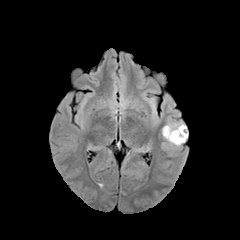
FLAIR MRI.
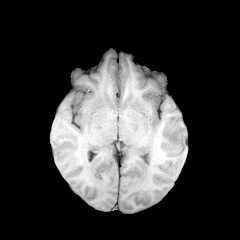
T1-weighted MRI of the same slice.
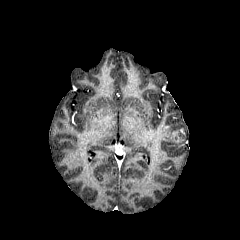
Post-contrast T1-weighted MR image.
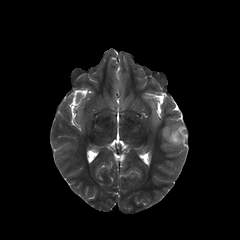
T2-weighted MRI.
Head. Image size 240x240. Axial view.
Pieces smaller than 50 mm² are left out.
{
  "enhancing_tumor": [
    "x1=170 y1=131 x2=182 y2=142"
  ],
  "peritumoral_edema": [
    "x1=162 y1=122 x2=187 y2=146"
  ]
}